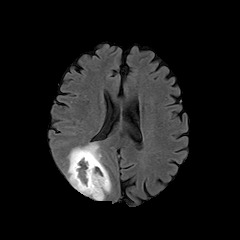
FLAIR magnetic resonance.
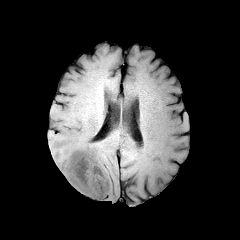
T1-weighted MRI.
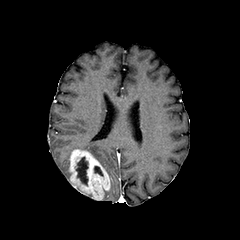
Post-contrast T1-weighted MR.
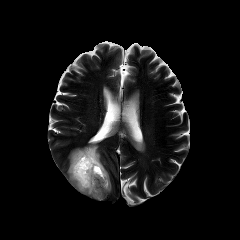
T2-weighted MR image of the same slice.
Head
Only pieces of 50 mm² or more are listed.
The enhancing tumor is bounded by region(69, 149, 110, 200). 2 necrotic tumor core regions are located at region(94, 166, 103, 176); region(76, 157, 88, 185). The largest peritumoral edema region is at region(68, 143, 102, 166).